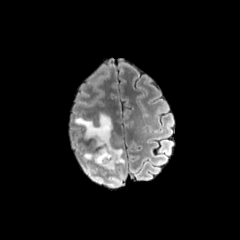
FLAIR MR.
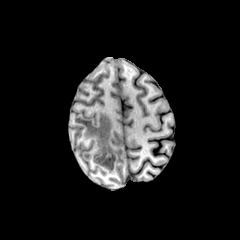
T1-weighted magnetic resonance.
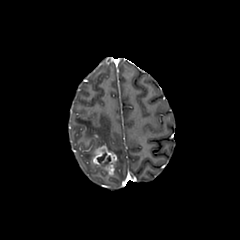
Post-contrast T1-weighted MR of the same slice.
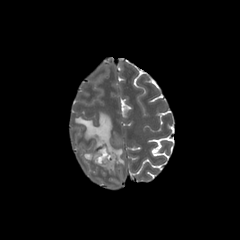
T2-weighted magnetic resonance.
Image size 240x240 | Brain | Axial plane
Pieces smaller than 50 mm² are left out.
The largest enhancing tumor region appears at <bbox>92, 144, 117, 174</bbox>. The necrotic tumor core lies within <bbox>97, 152, 110, 166</bbox>. The 2 largest peritumoral edema regions appear at <bbox>84, 153, 93, 160</bbox>, <bbox>74, 113, 124, 164</bbox>.